FLAIR magnetic resonance.
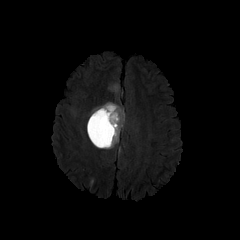
T1-weighted MRI.
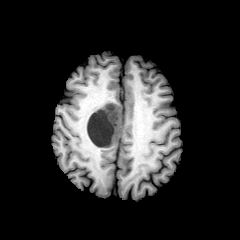
Post-contrast T1-weighted MR image.
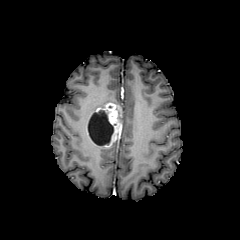
T2-weighted MR image.
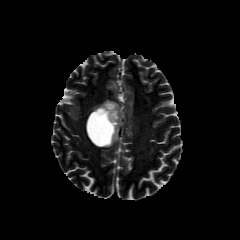
Axial plane
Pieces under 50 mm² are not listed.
necrotic tumor core: x1=88 y1=110 x2=113 y2=146 | peritumoral edema: x1=108 y1=85 x2=119 y2=91, x1=121 y1=107 x2=124 y2=126 | enhancing tumor: x1=87 y1=103 x2=122 y2=147